Brain. Image width 240 mm, 1.00 mm slice spacing. Axial slice.
FLAIR MR image.
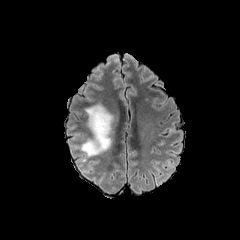
T1-weighted MR image.
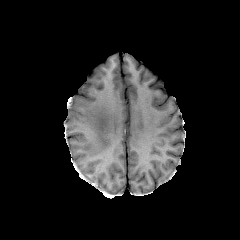
Post-contrast T1-weighted MRI.
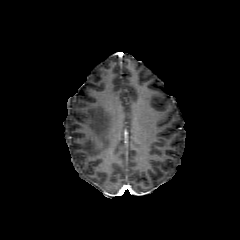
T2-weighted MRI.
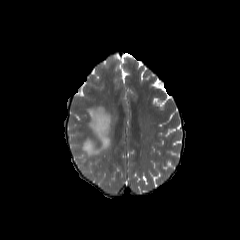
The peritumoral edema is bounded by (x1=81, y1=104, x2=113, y2=162).